Head
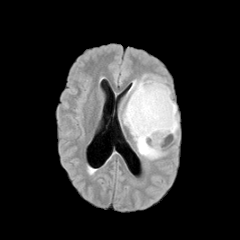
FLAIR MR image.
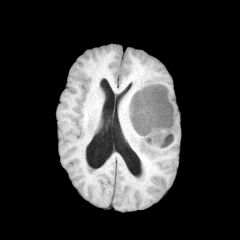
Same slice, T1-weighted MRI.
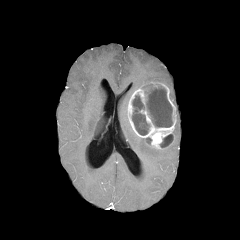
Post-contrast T1-weighted MR.
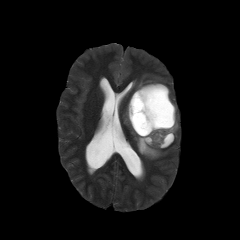
Same slice, T2-weighted MR.
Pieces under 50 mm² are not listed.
peritumoral edema at region(172, 114, 178, 136); region(123, 103, 163, 159); region(128, 74, 164, 95)
enhancing tumor at region(128, 82, 176, 148)
necrotic tumor core at region(132, 95, 149, 135); region(160, 135, 173, 146); region(143, 85, 172, 127)